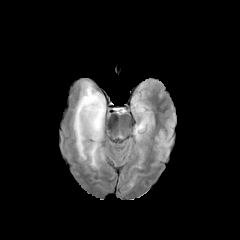
FLAIR MR image.
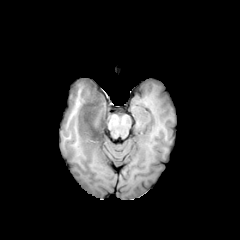
T1-weighted MRI of the same slice.
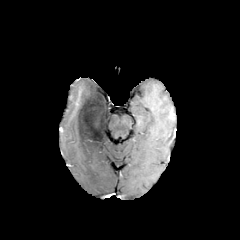
Same slice, post-contrast T1-weighted MR image.
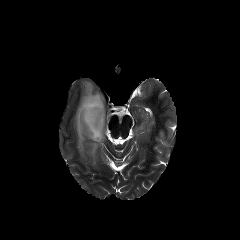
T2-weighted MR of the same slice.
Brain; 240x240 px
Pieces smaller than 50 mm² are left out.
The necrotic tumor core is located at [77, 89, 103, 141]. The largest peritumoral edema region is at [74, 82, 103, 166].